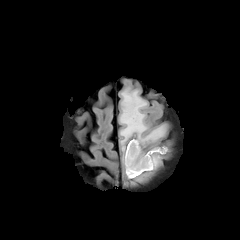
FLAIR magnetic resonance.
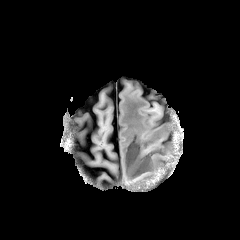
T1-weighted magnetic resonance of the same slice.
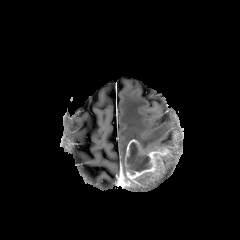
Same slice, post-contrast T1-weighted MR image.
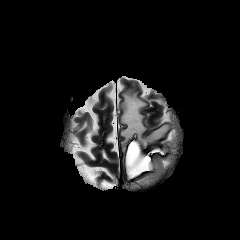
Same slice, T2-weighted MR image.
240x240 px.
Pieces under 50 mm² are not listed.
The largest necrotic tumor core region appears at <bbox>127, 142, 150, 171</bbox>. The largest peritumoral edema region appears at <bbox>120, 91, 166, 154</bbox>. The enhancing tumor is bounded by <bbox>125, 139, 168, 179</bbox>.